Image covers 240 mm x 240 mm; Slice 118/155; Axial view; Brain
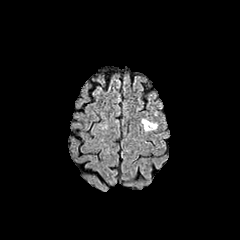
FLAIR MR image.
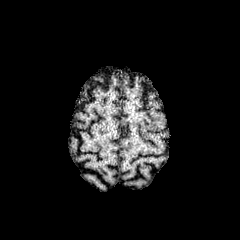
T1-weighted MR.
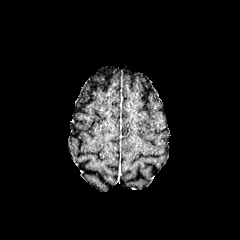
Post-contrast T1-weighted MR image.
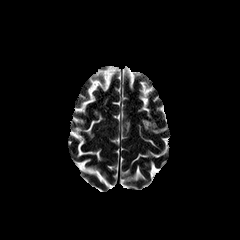
T2-weighted MR.
The peritumoral edema is bounded by (141, 119, 157, 130).